FLAIR magnetic resonance.
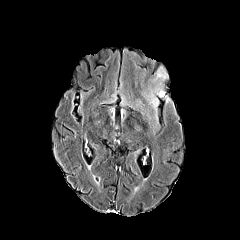
T1-weighted MR image.
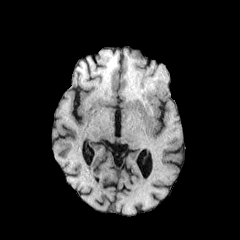
Post-contrast T1-weighted MRI.
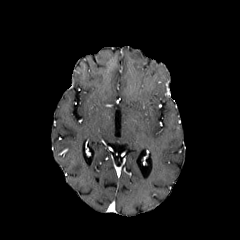
T2-weighted MRI.
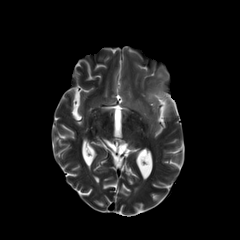
Head
3 peritumoral edema regions are bounded by box(156, 66, 168, 81); box(149, 93, 158, 112); box(154, 83, 170, 101).